Slice index 66; Brain
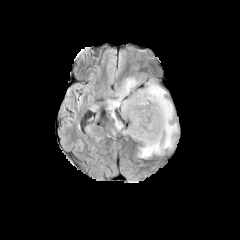
FLAIR MR image.
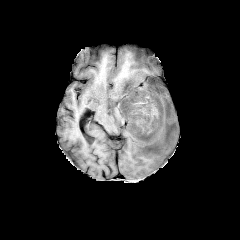
T1-weighted MRI.
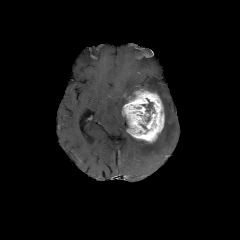
Post-contrast T1-weighted MR image.
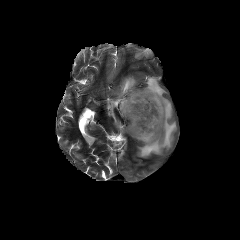
T2-weighted MR.
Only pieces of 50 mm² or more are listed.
necrotic tumor core = bbox(146, 100, 154, 114)
enhancing tumor = bbox(121, 89, 164, 142)
peritumoral edema = bbox(138, 79, 177, 158); bbox(108, 77, 137, 129)